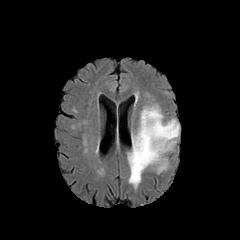
FLAIR magnetic resonance.
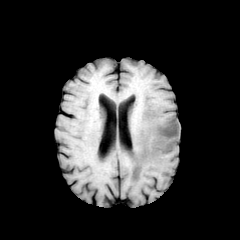
T1-weighted magnetic resonance of the same slice.
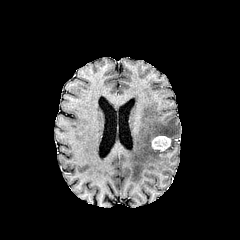
Same slice, post-contrast T1-weighted MR image.
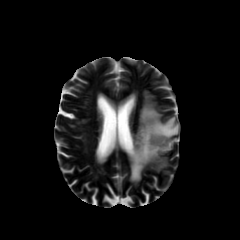
T2-weighted MRI of the same slice.
enhancing tumor: bounding box (151,135,171,151)
peritumoral edema: bounding box (128,104,179,187)